Slice index 71. Axial plane. Head. 240x240.
FLAIR MR.
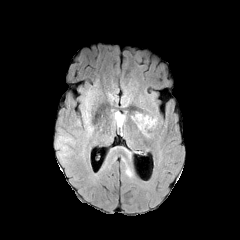
T1-weighted MR.
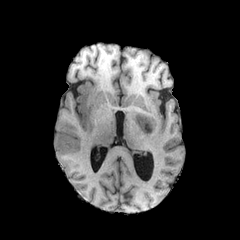
Post-contrast T1-weighted MRI.
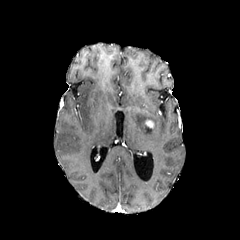
T2-weighted MR.
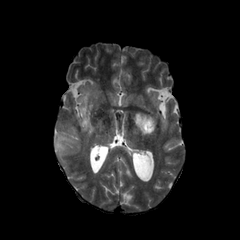
3 peritumoral edema regions are located at x1=132 y1=112 x2=157 y2=136, x1=56 y1=89 x2=93 y2=164, x1=124 y1=165 x2=132 y2=177. The enhancing tumor appears at x1=145 y1=120 x2=155 y2=128.